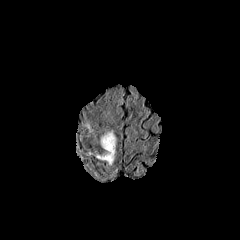
FLAIR MR image.
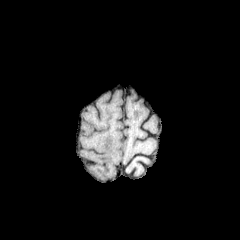
T1-weighted magnetic resonance.
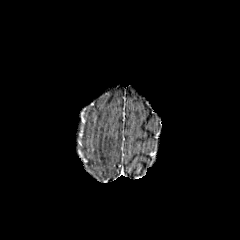
Post-contrast T1-weighted MR.
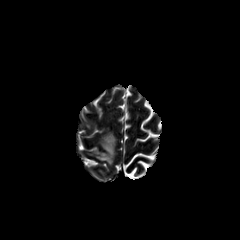
T2-weighted MR.
Axial slice, Head
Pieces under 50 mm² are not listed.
{"peritumoral_edema": ["bbox(94, 129, 116, 164)"]}